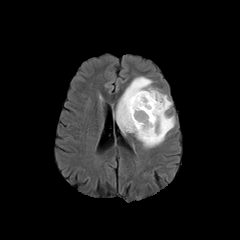
FLAIR MR image.
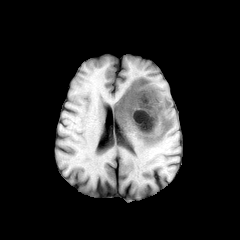
T1-weighted MR image.
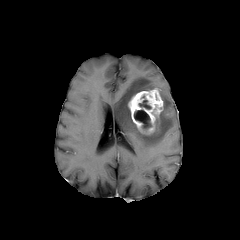
Post-contrast T1-weighted MR.
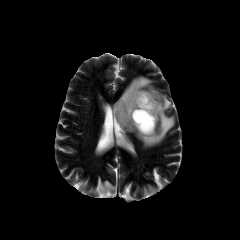
Same slice, T2-weighted MR.
Brain
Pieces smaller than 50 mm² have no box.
The 2 largest necrotic tumor core regions appear at bbox=[134, 110, 151, 129]; bbox=[139, 100, 151, 109]. The enhancing tumor is at bbox=[128, 88, 163, 134]. The peritumoral edema lies within bbox=[114, 76, 175, 147].